Slice 68/155; Image covers 240 mm x 240 mm
FLAIR MR.
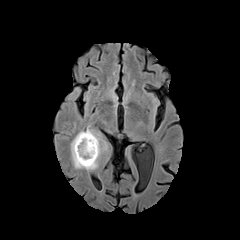
T1-weighted magnetic resonance.
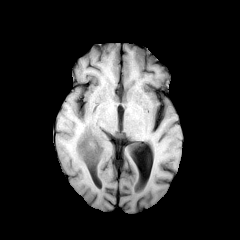
Post-contrast T1-weighted magnetic resonance.
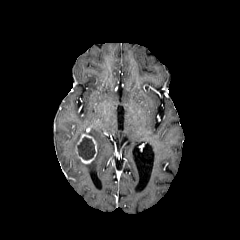
T2-weighted MR image.
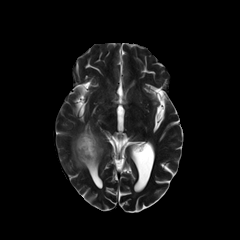
enhancing tumor: 75:134:97:163
peritumoral edema: 67:86:80:100, 71:127:109:170
necrotic tumor core: 77:137:95:160